Slice 46/155
FLAIR MR.
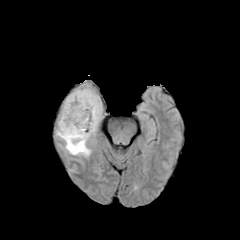
T1-weighted MR image.
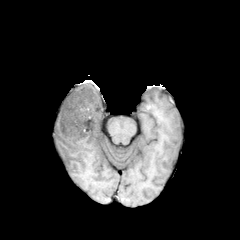
Post-contrast T1-weighted MR image.
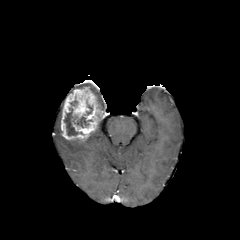
T2-weighted MR.
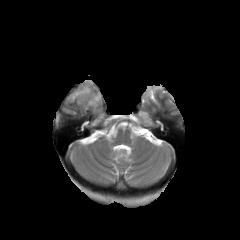
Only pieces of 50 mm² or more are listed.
peritumoral edema = x1=65, y1=129, x2=97, y2=156; x1=80, y1=85, x2=101, y2=109
enhancing tumor = x1=61, y1=87, x2=104, y2=142
necrotic tumor core = x1=64, y1=108, x2=78, y2=135; x1=74, y1=116, x2=88, y2=127